FLAIR MRI.
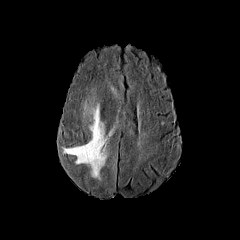
T1-weighted magnetic resonance.
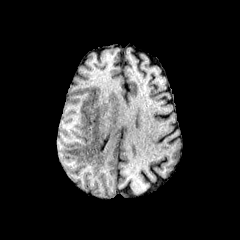
Post-contrast T1-weighted MRI.
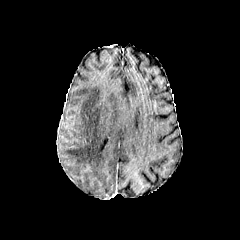
T2-weighted MRI.
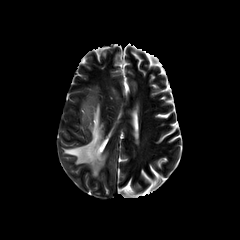
Head; Axial plane; Image size 240x240
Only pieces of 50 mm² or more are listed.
peritumoral_edema:
  - bbox(63, 99, 107, 179)